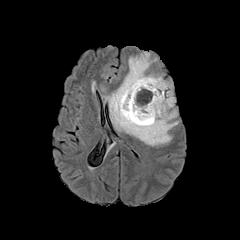
FLAIR MR.
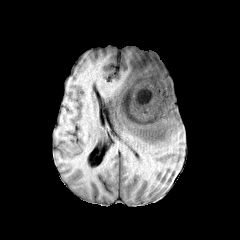
T1-weighted magnetic resonance.
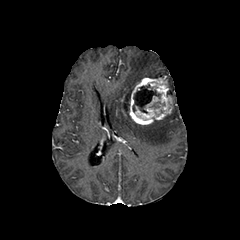
Same slice, post-contrast T1-weighted MR.
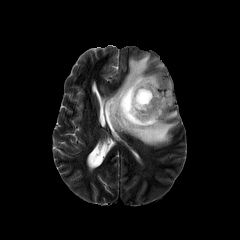
T2-weighted MR image.
Axial view, 240x240, Brain
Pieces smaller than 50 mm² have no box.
Segmented structures:
• peritumoral edema: {"x1": 104, "y1": 52, "x2": 178, "y2": 146}, {"x1": 168, "y1": 80, "x2": 175, "y2": 102}
• necrotic tumor core: {"x1": 133, "y1": 85, "x2": 160, "y2": 113}
• enhancing tumor: {"x1": 120, "y1": 77, "x2": 173, "y2": 124}